Image width 240 mm.
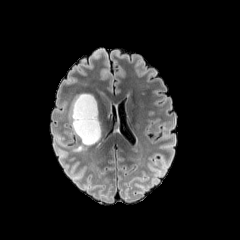
FLAIR MR image.
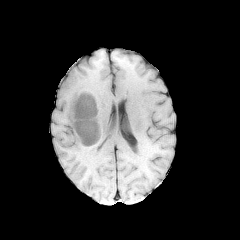
T1-weighted MR image of the same slice.
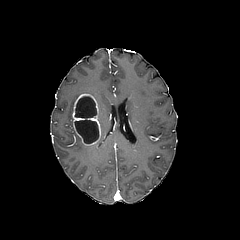
Post-contrast T1-weighted magnetic resonance.
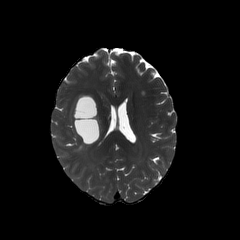
T2-weighted MR.
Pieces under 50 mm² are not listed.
peritumoral_edema:
  - [74,143,84,151]
  - [69,95,78,126]
necrotic_tumor_core:
  - [75,97,96,118]
  - [75,120,98,143]
enhancing_tumor:
  - [72,93,100,145]